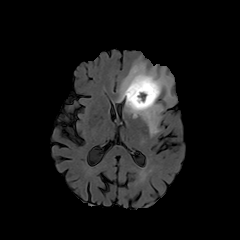
FLAIR magnetic resonance.
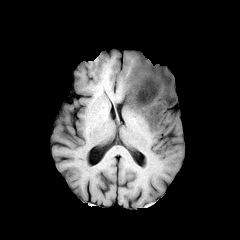
Same slice, T1-weighted magnetic resonance.
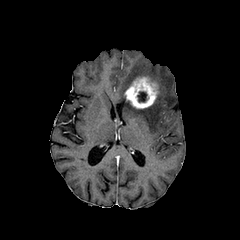
Same slice, post-contrast T1-weighted MR.
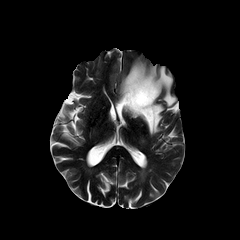
Same slice, T2-weighted MR image.
240x240
{
  "necrotic_tumor_core": [
    "rect(137, 92, 146, 102)"
  ],
  "peritumoral_edema": [
    "rect(124, 99, 164, 136)",
    "rect(117, 58, 176, 106)"
  ],
  "enhancing_tumor": [
    "rect(124, 76, 159, 108)"
  ]
}